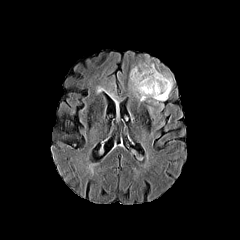
FLAIR MR.
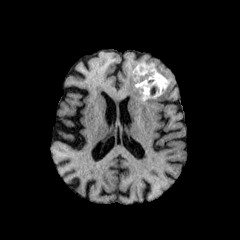
T1-weighted MR of the same slice.
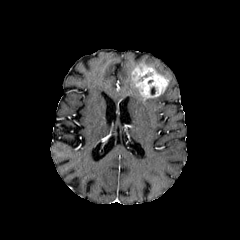
Post-contrast T1-weighted MRI.
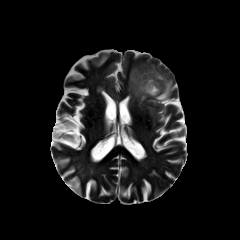
T2-weighted MRI.
Brain. 240x240.
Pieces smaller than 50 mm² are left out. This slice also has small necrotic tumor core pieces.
• enhancing tumor: [131,65,169,98]
• peritumoral edema: [136,64,173,104], [130,73,145,101]